Axial view. Slice index 128. Image width 240 mm, 1.00 mm slice spacing. 240x240.
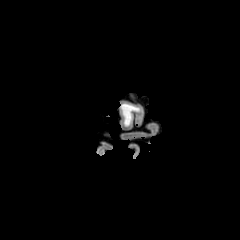
FLAIR MRI.
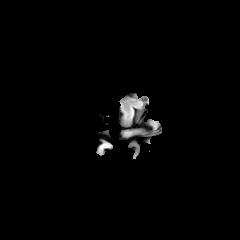
T1-weighted MR image.
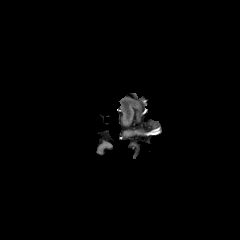
Same slice, post-contrast T1-weighted MR image.
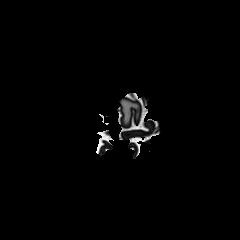
T2-weighted MRI.
peritumoral edema at [122, 102, 139, 125]